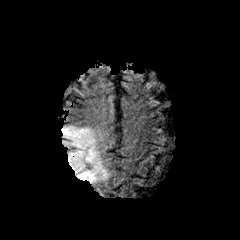
FLAIR MR.
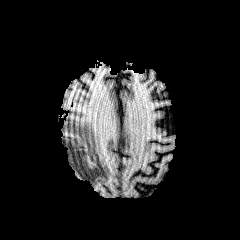
T1-weighted MR image.
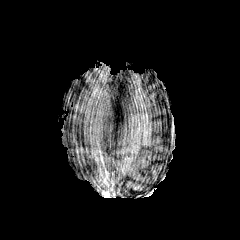
Post-contrast T1-weighted MRI.
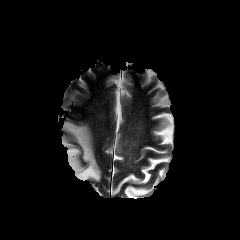
T2-weighted MRI.
Axial view
{
  "peritumoral_edema": [
    "<bbox>61, 124, 110, 183</bbox>"
  ]
}